Brain; Slice index 80
FLAIR MRI.
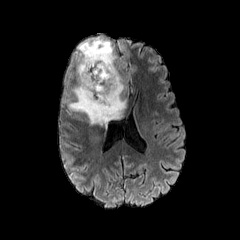
T1-weighted MRI.
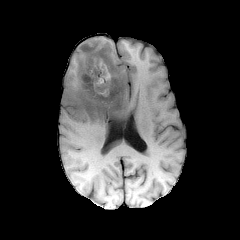
Post-contrast T1-weighted magnetic resonance.
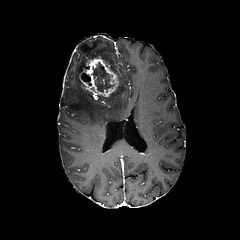
T2-weighted MR image.
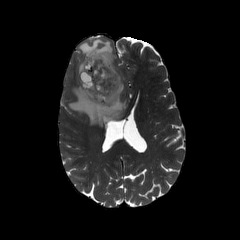
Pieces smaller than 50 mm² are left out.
peritumoral edema = l=62, t=37, r=126, b=126
necrotic tumor core = l=81, t=73, r=91, b=85; l=92, t=62, r=113, b=92
enhancing tumor = l=80, t=57, r=118, b=99